Axial plane; Image size 240x240
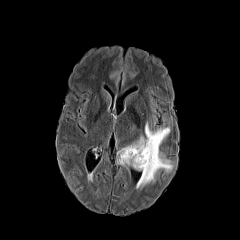
FLAIR magnetic resonance.
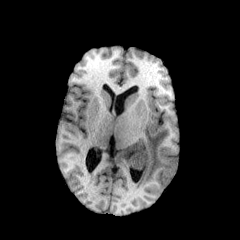
T1-weighted MR of the same slice.
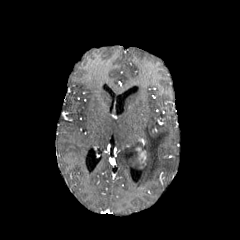
Post-contrast T1-weighted MR of the same slice.
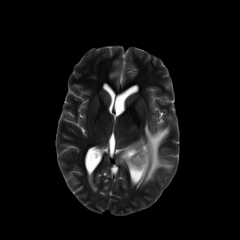
T2-weighted MR.
The enhancing tumor is located at 136,147,146,162. The peritumoral edema is bounded by 117,123,173,188.